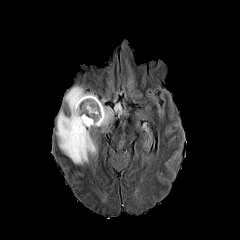
FLAIR MR.
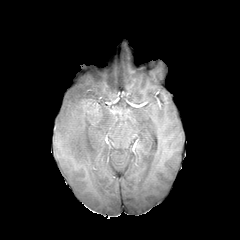
T1-weighted MR image.
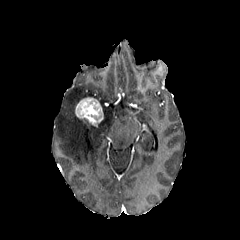
Post-contrast T1-weighted MR image.
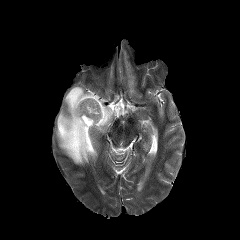
Same slice, T2-weighted MRI.
Axial slice
peritumoral edema: [114,104,122,116], [56,86,113,164] | enhancing tumor: [75,97,103,126]